240x240 px | Slice index 47 | Image covers 240 mm x 240 mm
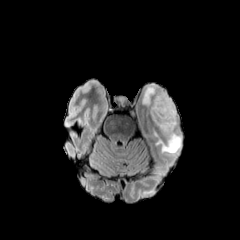
FLAIR MRI.
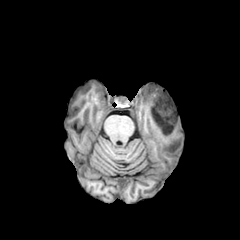
T1-weighted MR of the same slice.
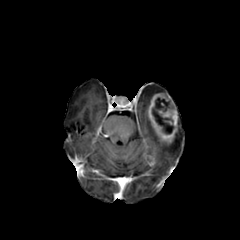
Post-contrast T1-weighted MR of the same slice.
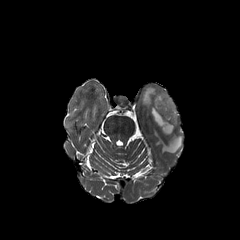
T2-weighted MRI.
{
  "peritumoral_edema": [
    "left=142, top=84, right=166, bottom=108",
    "left=153, top=117, right=182, bottom=154"
  ],
  "enhancing_tumor": [
    "left=147, top=92, right=178, bottom=143"
  ],
  "necrotic_tumor_core": [
    "left=152, top=98, right=173, bottom=134"
  ]
}